FLAIR MR image.
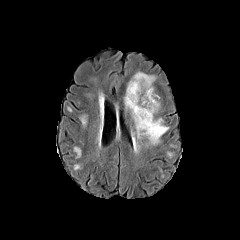
T1-weighted magnetic resonance.
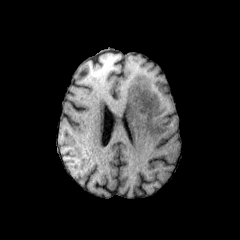
Post-contrast T1-weighted MRI.
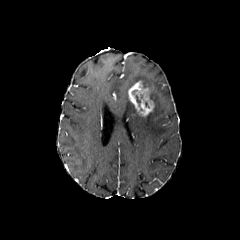
T2-weighted MRI.
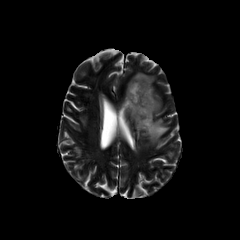
240x240 px | Brain | Axial plane
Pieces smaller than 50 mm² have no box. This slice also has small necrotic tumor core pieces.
The peritumoral edema lies within [x1=124, y1=72, x2=169, y2=144]. The enhancing tumor is located at [x1=128, y1=80, x2=154, y2=116].